Image covers 240 mm x 240 mm. Head. Slice 84/155.
FLAIR MR.
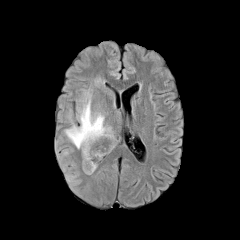
T1-weighted magnetic resonance.
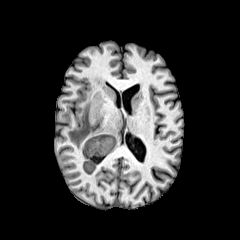
Post-contrast T1-weighted MR.
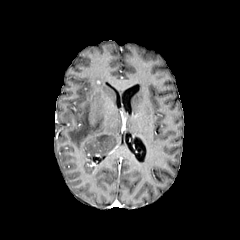
T2-weighted MRI.
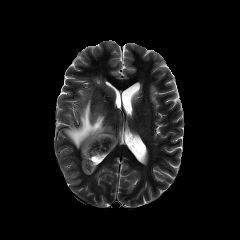
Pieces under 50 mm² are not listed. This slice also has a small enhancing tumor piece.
* peritumoral edema: (left=94, top=78, right=103, bottom=87), (left=65, top=92, right=115, bottom=164)